FLAIR MRI.
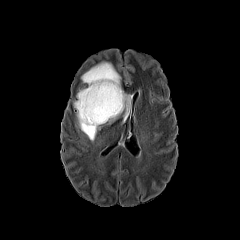
T1-weighted magnetic resonance.
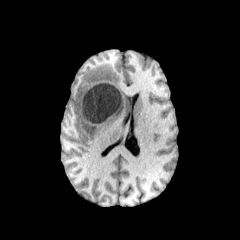
Post-contrast T1-weighted magnetic resonance.
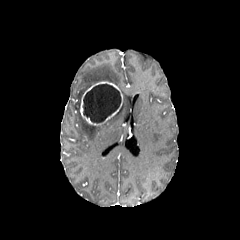
T2-weighted MRI.
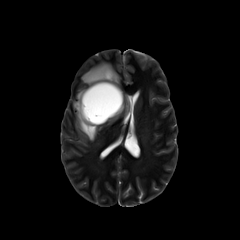
Brain; Image size 240x240; Axial view
{"peritumoral_edema": ["(x1=72, y1=60, x2=131, y2=141)"], "enhancing_tumor": ["(x1=80, y1=81, x2=123, y2=125)"], "necrotic_tumor_core": ["(x1=83, y1=84, x2=121, y2=123)"]}